FLAIR MR.
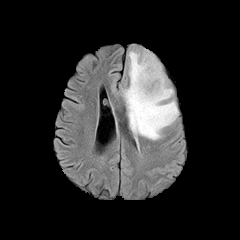
T1-weighted MRI.
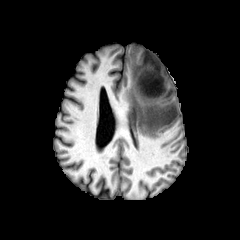
Post-contrast T1-weighted magnetic resonance.
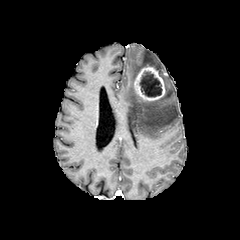
T2-weighted magnetic resonance.
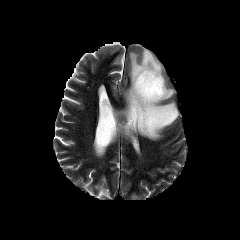
Brain
enhancing_tumor:
  - box=[134, 65, 165, 101]
necrotic_tumor_core:
  - box=[139, 71, 162, 96]
peritumoral_edema:
  - box=[122, 49, 178, 140]